FLAIR magnetic resonance.
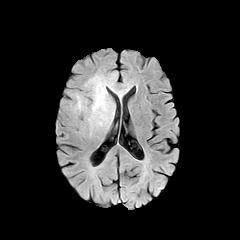
T1-weighted MR image.
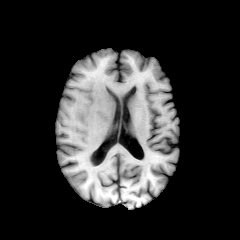
Post-contrast T1-weighted magnetic resonance.
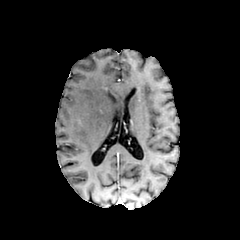
T2-weighted MRI.
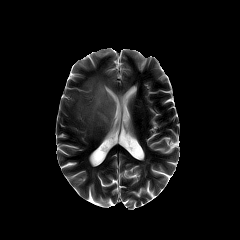
Axial view. Head.
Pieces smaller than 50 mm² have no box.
peritumoral edema at 77, 96, 83, 110; 85, 76, 114, 127